240x240 px | Axial view | Head
FLAIR MRI.
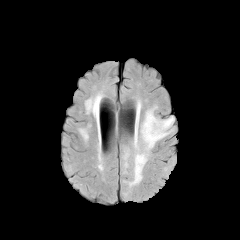
T1-weighted MRI.
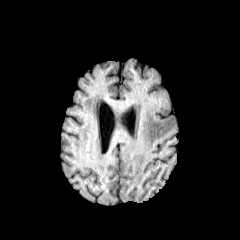
Post-contrast T1-weighted MR.
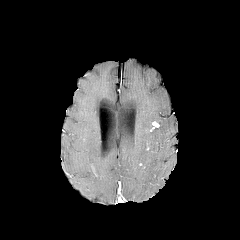
T2-weighted MR image.
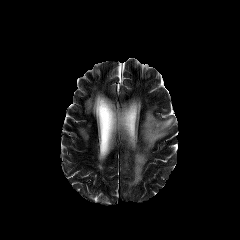
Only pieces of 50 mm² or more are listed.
enhancing_tumor:
  - [150,121,159,131]
peritumoral_edema:
  - [127,100,174,187]
  - [124,149,129,167]